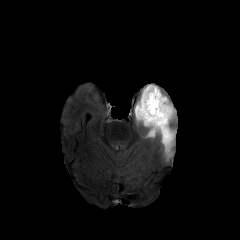
FLAIR magnetic resonance.
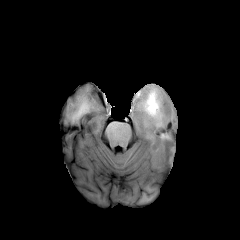
Same slice, T1-weighted MR.
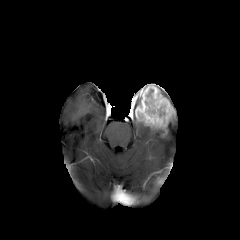
Post-contrast T1-weighted magnetic resonance.
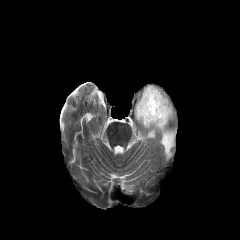
T2-weighted MR image.
Axial view, 240x240
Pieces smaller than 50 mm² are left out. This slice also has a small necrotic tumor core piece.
enhancing tumor: (left=135, top=84, right=175, bottom=134)
peritumoral edema: (left=136, top=121, right=176, bottom=161)